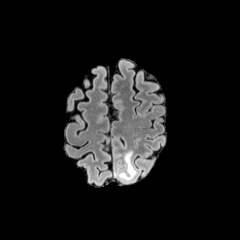
FLAIR MR.
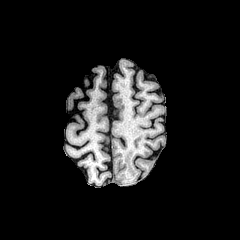
T1-weighted MR image of the same slice.
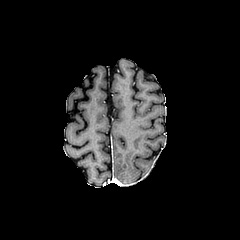
Post-contrast T1-weighted MR image.
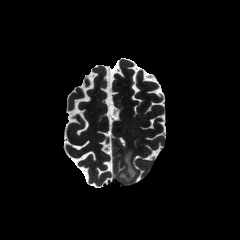
T2-weighted MRI of the same slice.
Head
{
  "peritumoral_edema": [
    "(118, 152, 136, 181)"
  ]
}